Image width 240 mm. Brain. Slice 121/155. Image size 240x240.
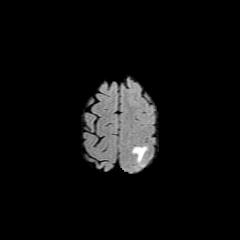
FLAIR MRI.
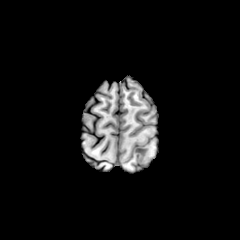
T1-weighted magnetic resonance.
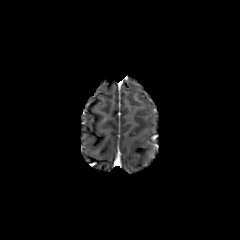
Post-contrast T1-weighted MRI.
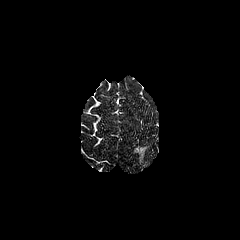
T2-weighted MRI of the same slice.
• peritumoral edema: bbox(133, 147, 146, 162)